Axial view.
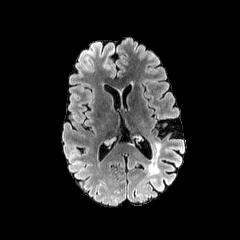
FLAIR MR image.
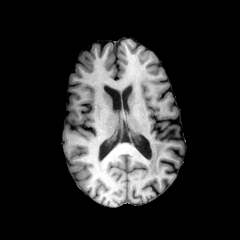
T1-weighted MR of the same slice.
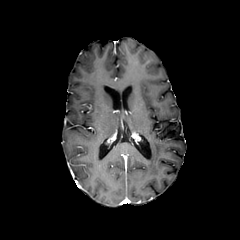
Post-contrast T1-weighted MR.
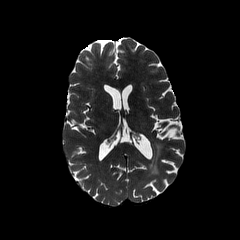
Same slice, T2-weighted MR image.
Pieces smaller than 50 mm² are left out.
The largest peritumoral edema region is at x1=155, y1=143, x2=161, y2=157.